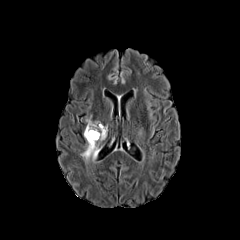
FLAIR MR.
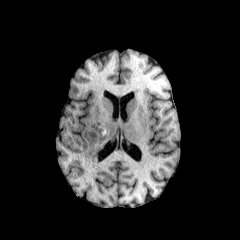
T1-weighted MR.
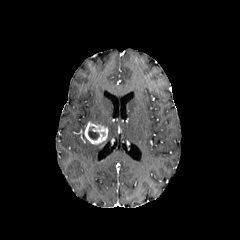
Same slice, post-contrast T1-weighted MR image.
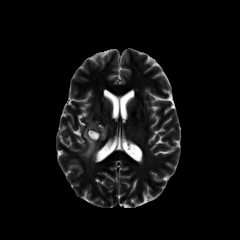
T2-weighted MR of the same slice.
240x240 px; Brain
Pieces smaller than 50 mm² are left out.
necrotic tumor core: [88,127,99,139] | enhancing tumor: [84,121,108,144] | peritumoral edema: [81,140,100,162]